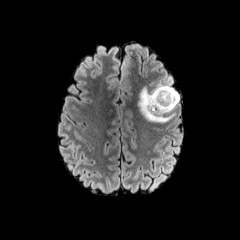
FLAIR magnetic resonance.
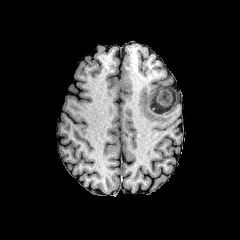
T1-weighted MR image of the same slice.
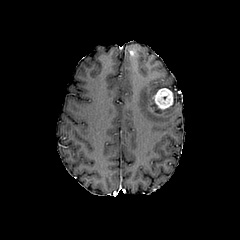
Same slice, post-contrast T1-weighted MR.
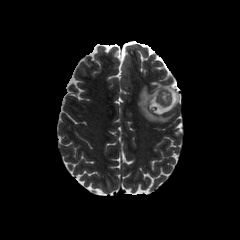
T2-weighted MRI of the same slice.
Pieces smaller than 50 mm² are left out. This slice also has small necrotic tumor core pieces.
The enhancing tumor appears at (147, 88, 177, 116). The peritumoral edema is located at (137, 75, 179, 123).